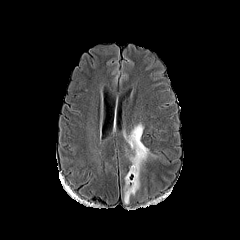
FLAIR MR.
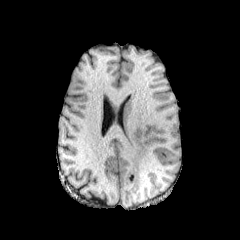
T1-weighted MR.
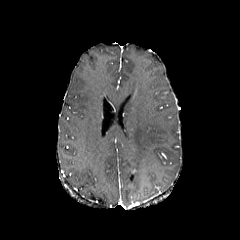
Post-contrast T1-weighted MR.
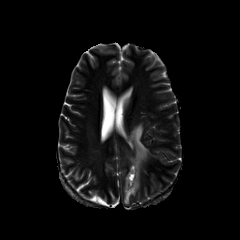
T2-weighted magnetic resonance of the same slice.
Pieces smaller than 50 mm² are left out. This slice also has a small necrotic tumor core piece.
peritumoral edema at x1=124 y1=124 x2=149 y2=203
enhancing tumor at x1=127 y1=169 x2=135 y2=186